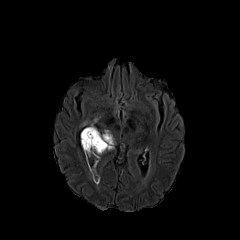
FLAIR MRI.
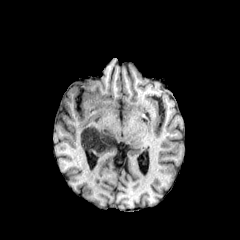
T1-weighted magnetic resonance.
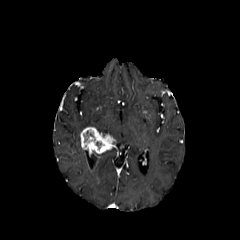
Post-contrast T1-weighted magnetic resonance.
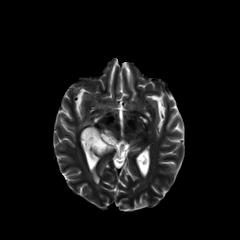
T2-weighted MR.
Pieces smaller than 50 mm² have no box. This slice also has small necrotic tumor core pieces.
peritumoral edema = box(80, 118, 98, 127)
enhancing tumor = box(80, 127, 114, 154); box(85, 152, 98, 173)